Brain
FLAIR magnetic resonance.
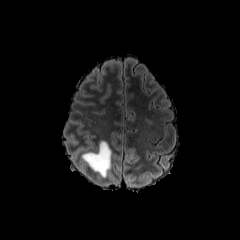
T1-weighted magnetic resonance.
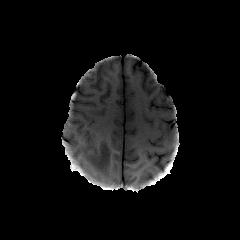
Post-contrast T1-weighted magnetic resonance.
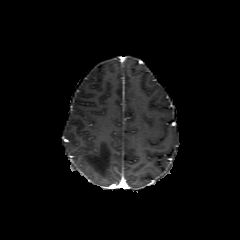
T2-weighted magnetic resonance.
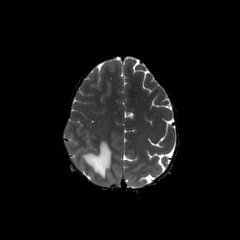
peritumoral edema: bbox=[82, 140, 111, 176]